Brain
FLAIR MRI.
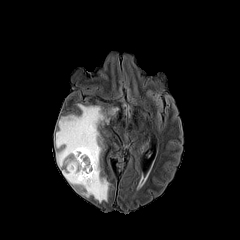
T1-weighted MR image.
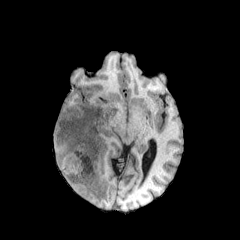
Post-contrast T1-weighted MR.
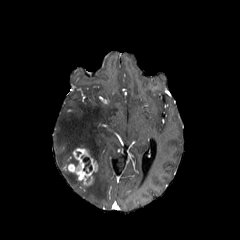
T2-weighted magnetic resonance.
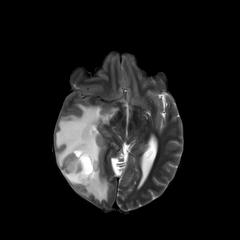
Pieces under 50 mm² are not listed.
<segmentation>
  <enhancing_tumor>(left=67, top=148, right=97, bottom=185)</enhancing_tumor>
  <necrotic_tumor_core>(left=81, top=156, right=92, bottom=173), (left=70, top=157, right=78, bottom=166)</necrotic_tumor_core>
  <peritumoral_edema>(left=55, top=104, right=109, bottom=202)</peritumoral_edema>
</segmentation>